FLAIR MRI.
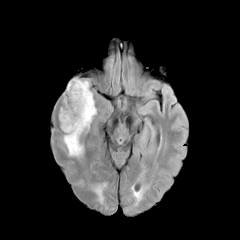
T1-weighted MR image.
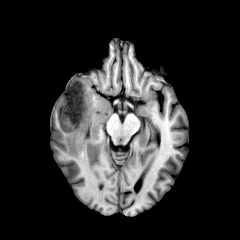
Post-contrast T1-weighted magnetic resonance.
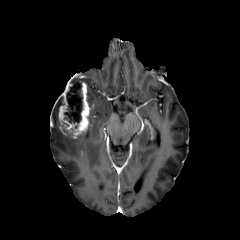
T2-weighted MR image.
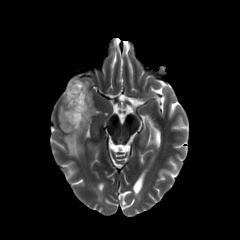
Axial view.
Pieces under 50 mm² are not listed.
Segmented structures:
- necrotic tumor core: 64 80 82 123
- peritumoral edema: 85 81 96 128, 64 135 83 157
- enhancing tumor: 58 79 90 138